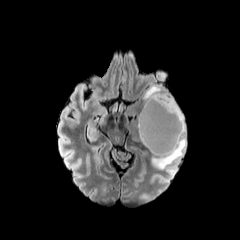
FLAIR MR image.
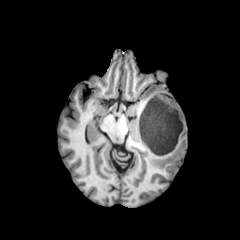
T1-weighted MR image.
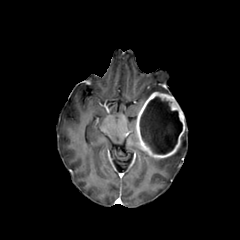
Same slice, post-contrast T1-weighted MR.
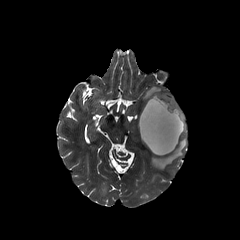
T2-weighted MR of the same slice.
Axial view
2 peritumoral edema regions are located at 143 85 169 102, 151 125 186 169. The enhancing tumor appears at 135 92 185 158. The necrotic tumor core is located at 139 97 182 154.